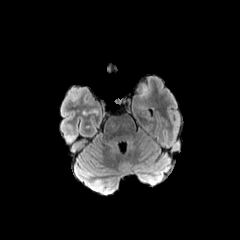
FLAIR magnetic resonance.
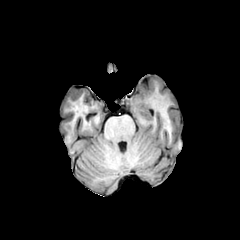
Same slice, T1-weighted MR.
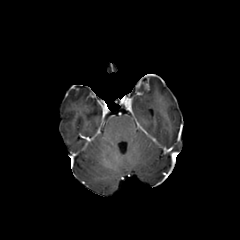
Post-contrast T1-weighted magnetic resonance.
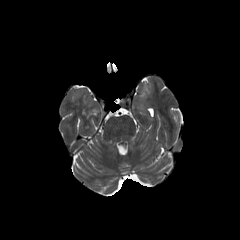
Same slice, T2-weighted MRI.
enhancing tumor = (136,78,149,94)
peritumoral edema = (139,79,152,96)